Slice index 62 | 240x240
FLAIR MRI.
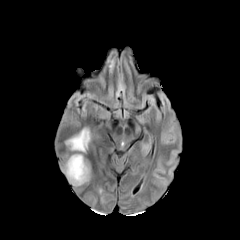
T1-weighted MRI.
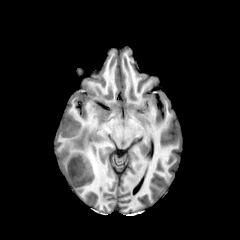
Post-contrast T1-weighted magnetic resonance.
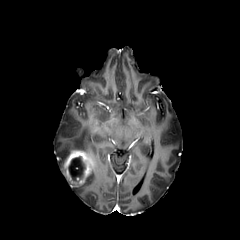
T2-weighted MR.
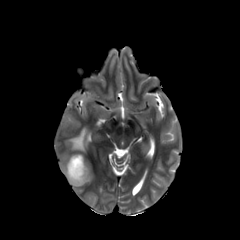
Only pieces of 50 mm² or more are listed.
The enhancing tumor appears at 63, 151, 91, 186. The largest peritumoral edema region is at 66, 128, 89, 152. The largest necrotic tumor core region lies within 68, 156, 85, 181.